FLAIR MRI.
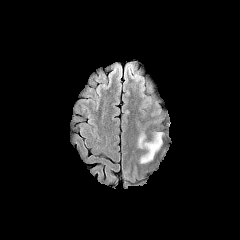
T1-weighted MRI.
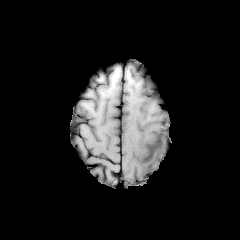
Post-contrast T1-weighted MR.
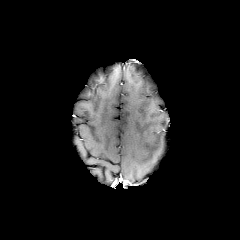
T2-weighted MR image.
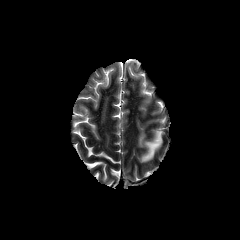
Image size 240x240
peritumoral_edema:
  - (138, 132, 162, 163)